FLAIR MR.
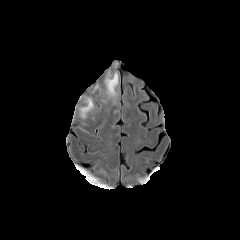
T1-weighted magnetic resonance.
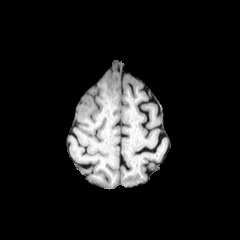
Post-contrast T1-weighted MRI.
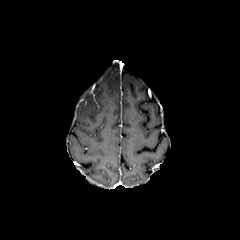
T2-weighted magnetic resonance.
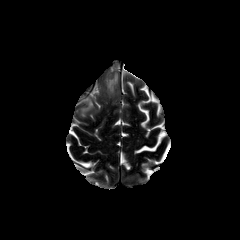
240x240.
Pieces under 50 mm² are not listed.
<segmentation>
  <peritumoral_edema>left=80, top=98, right=94, bottom=118; left=104, top=70, right=119, bottom=102</peritumoral_edema>
</segmentation>